FLAIR MR image.
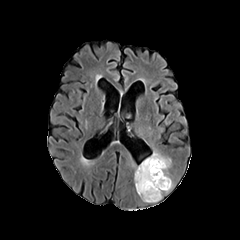
T1-weighted magnetic resonance.
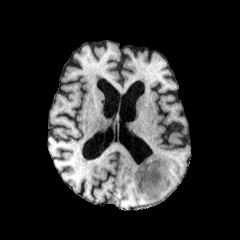
Post-contrast T1-weighted MRI.
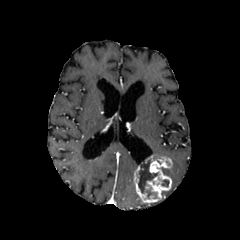
T2-weighted magnetic resonance.
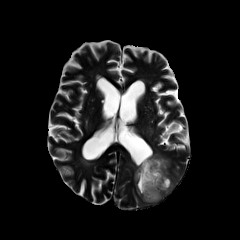
Image size 240x240. Head.
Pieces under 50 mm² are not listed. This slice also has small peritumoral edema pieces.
enhancing tumor: bounding box box=[134, 154, 172, 202]
necrotic tumor core: bounding box box=[138, 160, 158, 193]; box=[146, 187, 156, 198]; box=[160, 167, 170, 175]